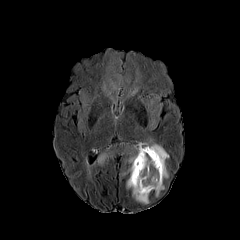
FLAIR MRI.
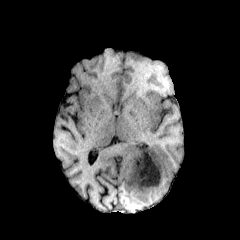
Same slice, T1-weighted MR.
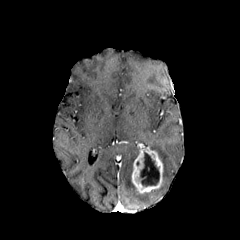
Same slice, post-contrast T1-weighted MRI.
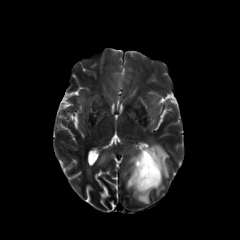
T2-weighted MR image.
240x240
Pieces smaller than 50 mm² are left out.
<segmentation>
  <peritumoral_edema>[98, 143, 139, 174], [155, 183, 164, 196], [126, 176, 150, 203], [105, 66, 140, 99], [171, 104, 179, 117], [149, 143, 169, 179], [148, 97, 160, 129]</peritumoral_edema>
  <enhancing_tumor>[131, 144, 163, 193]</enhancing_tumor>
  <necrotic_tumor_core>[140, 152, 159, 186]</necrotic_tumor_core>
</segmentation>